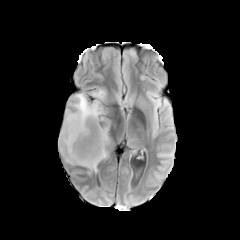
FLAIR MR image.
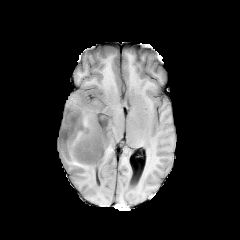
Same slice, T1-weighted magnetic resonance.
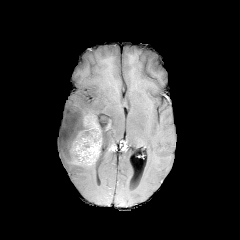
Post-contrast T1-weighted MR.
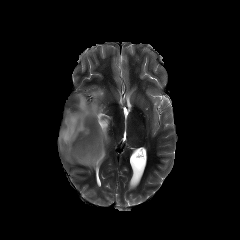
T2-weighted MRI.
Axial slice; Brain
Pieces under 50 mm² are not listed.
Segmented structures:
• enhancing tumor: [x1=71, y1=117, x2=106, y2=165]
• peritumoral edema: [x1=58, y1=89, x2=109, y2=170]